Head, Image width 240 mm, Axial slice, 240x240
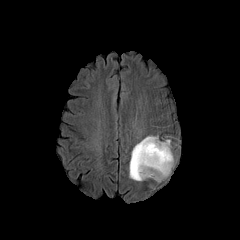
FLAIR MR image.
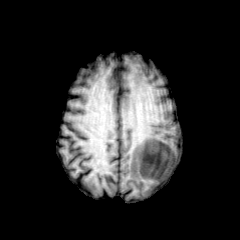
T1-weighted magnetic resonance.
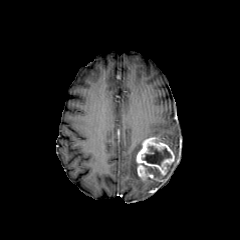
Post-contrast T1-weighted MR of the same slice.
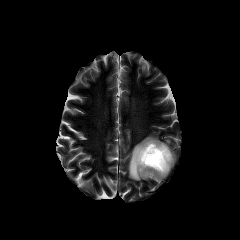
T2-weighted magnetic resonance.
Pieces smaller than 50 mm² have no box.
The enhancing tumor is bounded by (136, 137, 174, 181). The largest peritumoral edema region appears at (129, 135, 158, 181). 2 necrotic tumor core regions are bounded by (147, 166, 159, 177), (142, 146, 171, 165).